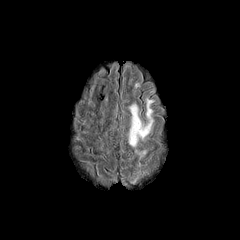
FLAIR MR image.
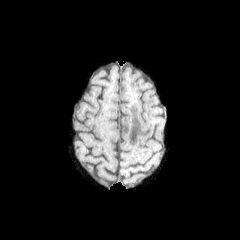
Same slice, T1-weighted MR.
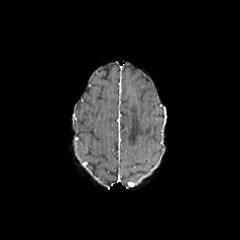
Post-contrast T1-weighted MRI.
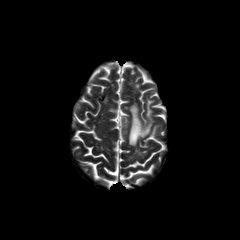
T2-weighted magnetic resonance.
Head
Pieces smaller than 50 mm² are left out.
peritumoral edema: rect(128, 99, 153, 146)